FLAIR MR image.
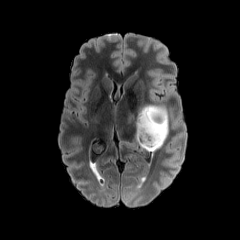
T1-weighted MR.
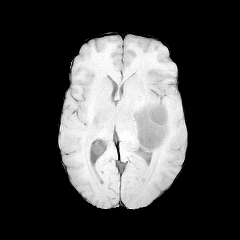
Post-contrast T1-weighted magnetic resonance.
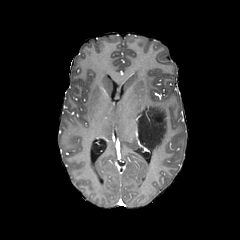
T2-weighted MR.
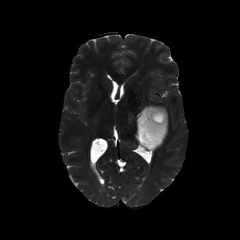
Brain.
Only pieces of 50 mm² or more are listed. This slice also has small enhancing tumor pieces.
Segmented structures:
• necrotic tumor core: rect(151, 111, 164, 122)
• peritumoral edema: rect(136, 105, 168, 151)